FLAIR MR.
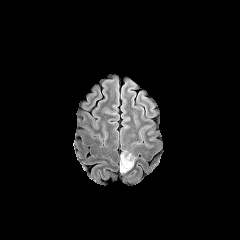
T1-weighted MR image.
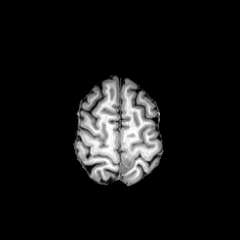
Post-contrast T1-weighted MRI.
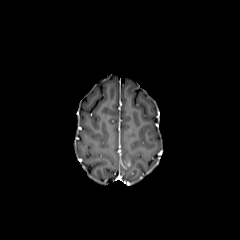
T2-weighted magnetic resonance.
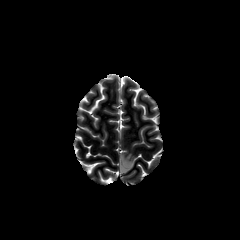
240x240
The enhancing tumor lies within (124, 154, 130, 166). The peritumoral edema is at (120, 149, 136, 173).